Head, Image width 240 mm, 1.00 mm slice spacing, Axial plane, 240x240
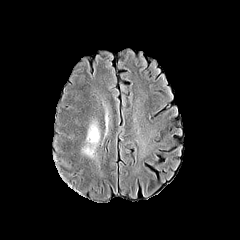
FLAIR MR.
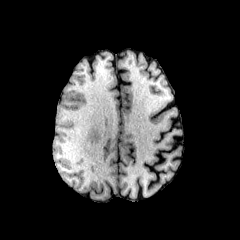
T1-weighted MR.
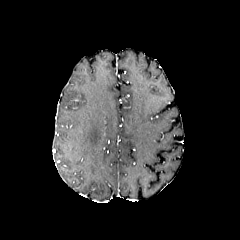
Post-contrast T1-weighted MR.
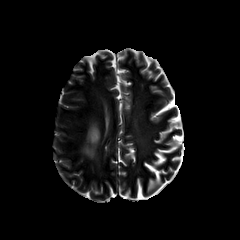
T2-weighted MR.
peritumoral edema — x1=84 y1=124 x2=99 y2=156